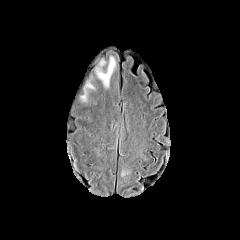
FLAIR MR.
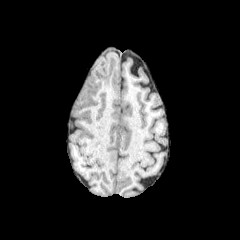
Same slice, T1-weighted MR image.
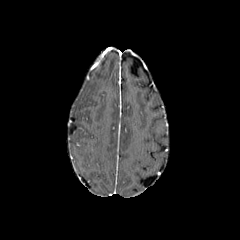
Post-contrast T1-weighted MR of the same slice.
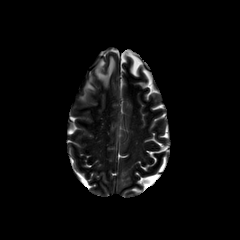
Same slice, T2-weighted magnetic resonance.
Axial slice; 240x240 px; Head
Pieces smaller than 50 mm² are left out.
The 2 largest peritumoral edema regions appear at <bbox>93, 57, 115, 86</bbox>, <bbox>80, 83, 93, 100</bbox>.